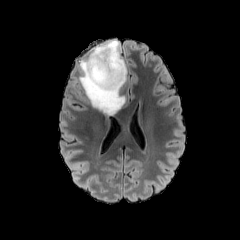
FLAIR MR image.
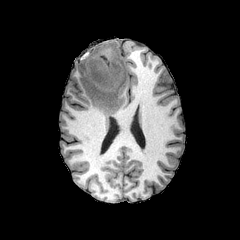
T1-weighted MRI.
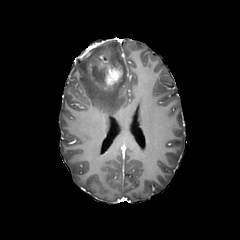
Post-contrast T1-weighted MR.
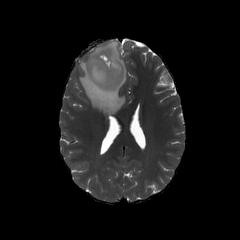
T2-weighted MRI.
Axial plane.
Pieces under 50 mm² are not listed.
enhancing tumor: (90,61,122,89)
necrotic tumor core: (93,66,104,85)
peritumoral edema: (79,40,126,115)